FLAIR magnetic resonance.
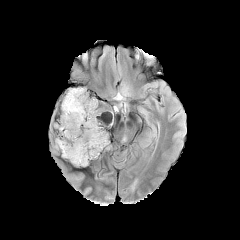
T1-weighted MRI.
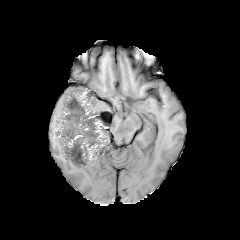
Post-contrast T1-weighted MRI.
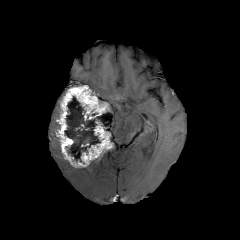
T2-weighted MR.
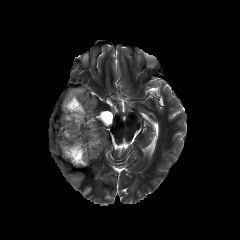
240x240 px
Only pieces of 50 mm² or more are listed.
The largest enhancing tumor region is bounded by (x1=57, y1=85, x2=113, y2=167). The largest peritumoral edema region is located at (x1=55, y1=137, x2=60, y2=149). The largest necrotic tumor core region lies within (x1=64, y1=96, x2=112, y2=161).